FLAIR MR.
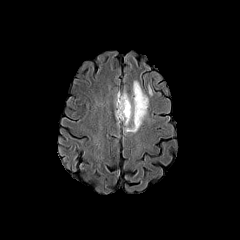
T1-weighted MRI.
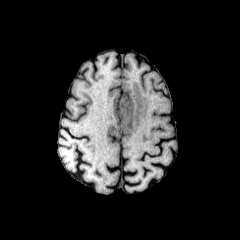
Post-contrast T1-weighted MR image.
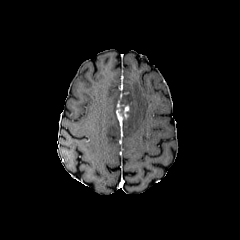
T2-weighted magnetic resonance.
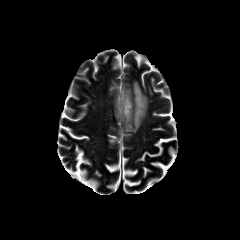
Brain
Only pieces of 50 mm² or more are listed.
- enhancing tumor: box=[116, 100, 129, 120]
- peritumoral edema: box=[120, 81, 148, 132]